Slice 101/155. Brain. Axial slice.
FLAIR MR.
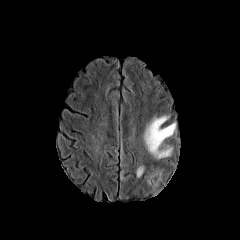
T1-weighted MR image.
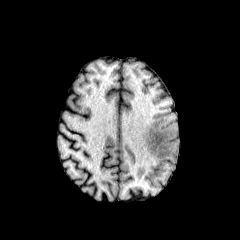
Post-contrast T1-weighted MRI.
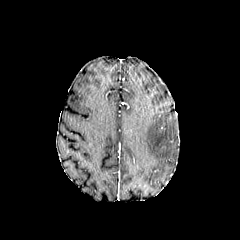
T2-weighted magnetic resonance.
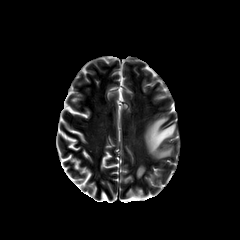
* peritumoral edema: (x1=145, y1=169, x2=161, y2=187), (x1=136, y1=165, x2=144, y2=177), (x1=143, y1=115, x2=176, y2=159), (x1=120, y1=149, x2=129, y2=179)